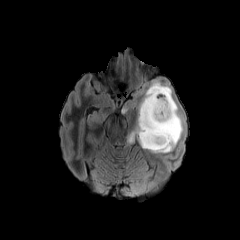
FLAIR MRI.
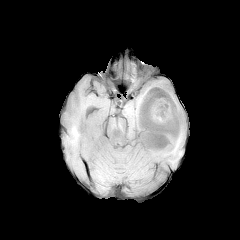
T1-weighted MR of the same slice.
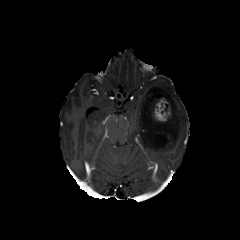
Post-contrast T1-weighted MR.
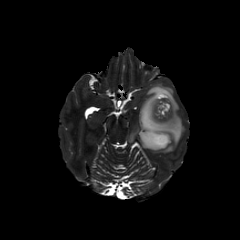
T2-weighted magnetic resonance.
Brain; 240x240 px
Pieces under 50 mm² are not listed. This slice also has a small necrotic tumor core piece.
enhancing_tumor:
  - x1=149, y1=96, x2=171, y2=121
peritumoral_edema:
  - x1=129, y1=83, x2=184, y2=152